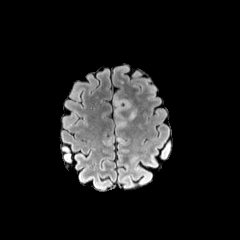
FLAIR MR.
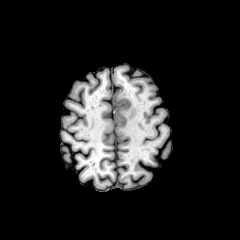
T1-weighted MRI.
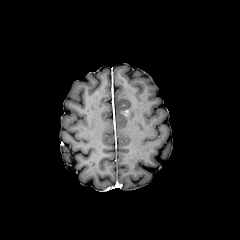
Post-contrast T1-weighted MR.
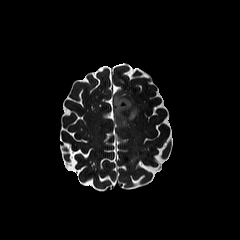
Same slice, T2-weighted magnetic resonance.
Image size 240x240 | Brain | Axial plane
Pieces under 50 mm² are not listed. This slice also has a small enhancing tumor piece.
Findings:
• peritumoral edema: 113,94,136,123